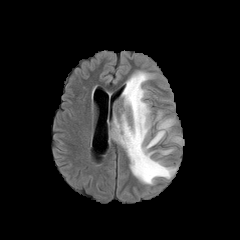
FLAIR MR.
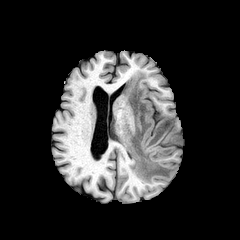
Same slice, T1-weighted MR.
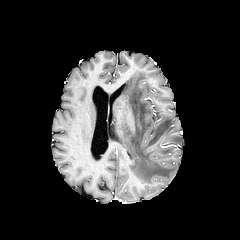
Same slice, post-contrast T1-weighted MR image.
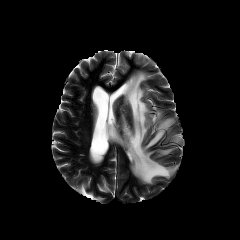
Same slice, T2-weighted MRI.
240x240
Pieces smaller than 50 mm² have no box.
<segmentation>
  <peritumoral_edema>(111,71,176,184), (171,136,181,142), (159,149,173,154)</peritumoral_edema>
</segmentation>